FLAIR MRI.
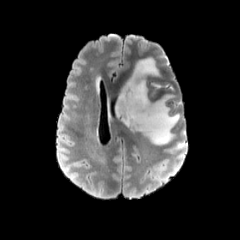
T1-weighted MRI.
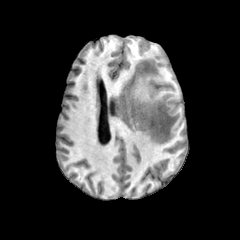
Post-contrast T1-weighted magnetic resonance.
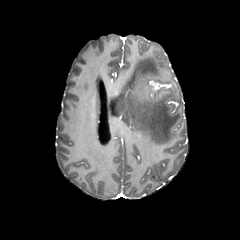
T2-weighted MR image.
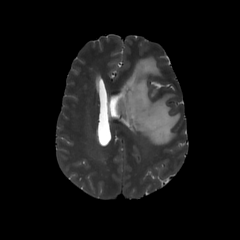
The peritumoral edema is at 116 57 180 145.